FLAIR MR image.
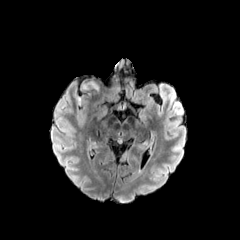
T1-weighted MRI.
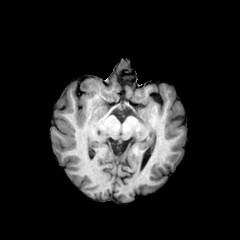
Post-contrast T1-weighted MRI.
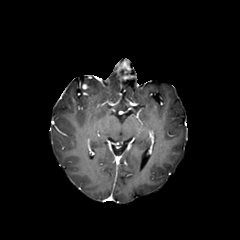
T2-weighted MR image.
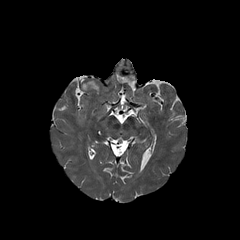
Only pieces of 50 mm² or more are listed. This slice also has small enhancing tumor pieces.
peritumoral_edema:
  - x1=86, y1=81, x2=99, y2=92